Image width 240 mm, 1.00 mm slice spacing; Axial slice
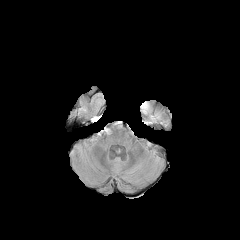
FLAIR MR.
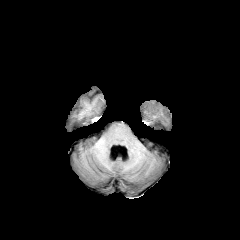
T1-weighted MR of the same slice.
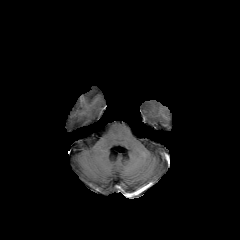
Post-contrast T1-weighted MRI of the same slice.
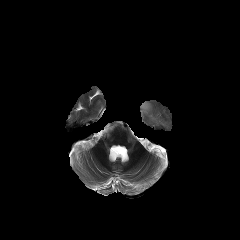
T2-weighted MR.
peritumoral edema = 140, 101, 159, 123